Slice index 74; 240x240 px; Head; Axial view
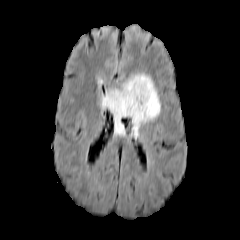
FLAIR magnetic resonance.
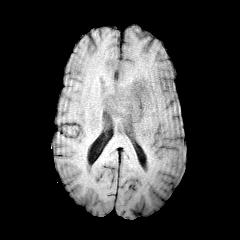
T1-weighted MR image of the same slice.
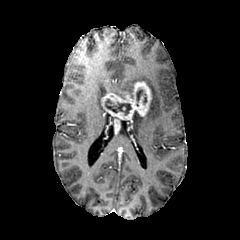
Post-contrast T1-weighted MR image of the same slice.
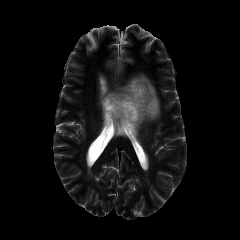
T2-weighted MR image.
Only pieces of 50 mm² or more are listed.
enhancing_tumor:
  - [102,81,151,131]
necrotic_tumor_core:
  - [136,89,146,103]
  - [105,99,131,115]
peritumoral_edema:
  - [106,73,160,137]
  - [116,120,124,134]